FLAIR MR image.
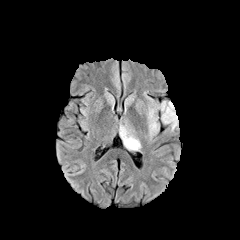
T1-weighted MR.
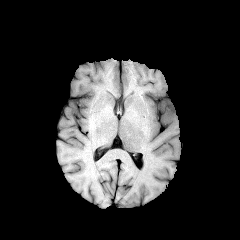
Post-contrast T1-weighted MR image.
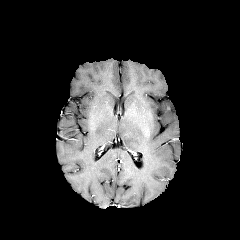
T2-weighted MR.
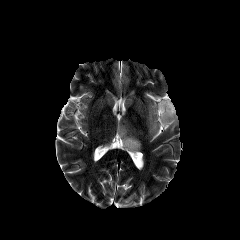
Axial view, Brain
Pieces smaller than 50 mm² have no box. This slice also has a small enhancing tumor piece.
{"peritumoral_edema": ["148:100:178:136", "119:125:141:150"]}